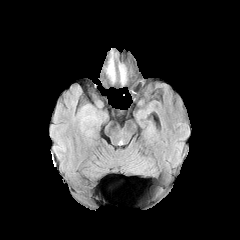
FLAIR MRI.
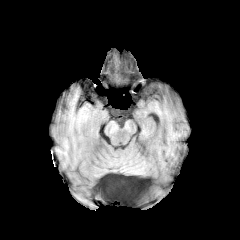
T1-weighted MRI.
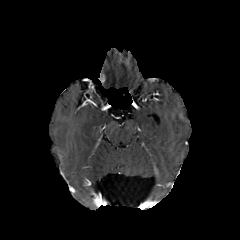
Same slice, post-contrast T1-weighted MR.
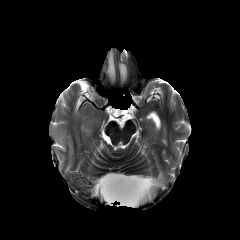
T2-weighted magnetic resonance.
Axial view, Head
Segmented structures:
• peritumoral edema: (107,54,115,81), (119,64,126,83)